Image width 240 mm, 1.00 mm slice spacing, Axial view, Slice 60 of 155, Image size 240x240
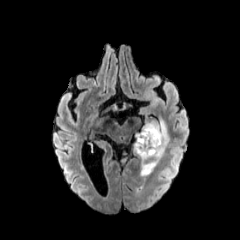
FLAIR MRI.
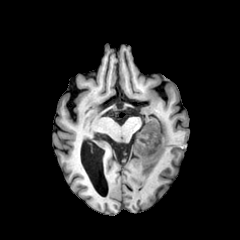
T1-weighted MRI.
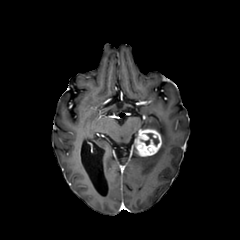
Same slice, post-contrast T1-weighted MRI.
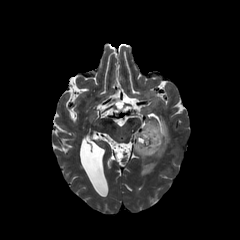
T2-weighted MR image.
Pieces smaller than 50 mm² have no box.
necrotic tumor core: (146,133,158,145) | enhancing tumor: (134,128,161,156) | peritumoral edema: (133,119,169,173)